Brain; Axial view; Image covers 240 mm x 240 mm
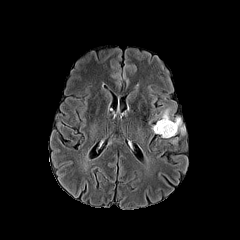
FLAIR MR image.
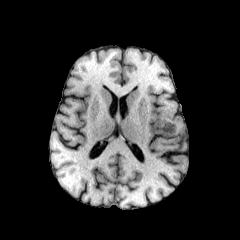
T1-weighted magnetic resonance of the same slice.
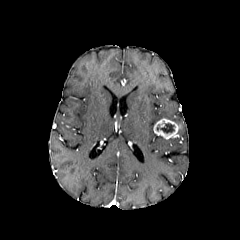
Post-contrast T1-weighted MRI.
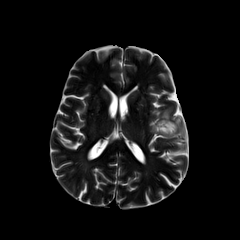
T2-weighted MR of the same slice.
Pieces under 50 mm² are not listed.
<segmentation>
  <peritumoral_edema>[161, 108, 170, 119]</peritumoral_edema>
  <enhancing_tumor>[153, 118, 181, 139]</enhancing_tumor>
  <necrotic_tumor_core>[157, 123, 174, 133]</necrotic_tumor_core>
</segmentation>